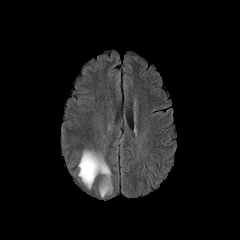
FLAIR MRI.
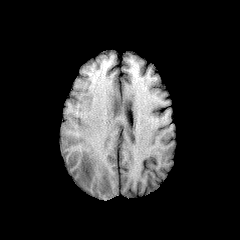
T1-weighted MR image of the same slice.
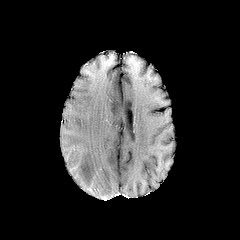
Post-contrast T1-weighted magnetic resonance.
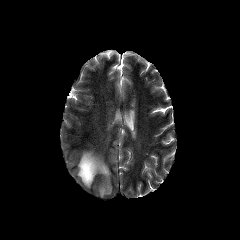
Same slice, T2-weighted magnetic resonance.
240x240
peritumoral_edema:
  - (78, 151, 111, 196)